Axial plane; Brain; Image size 240x240
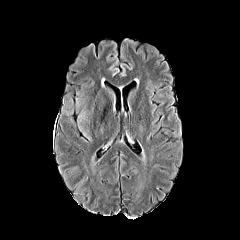
FLAIR MR image.
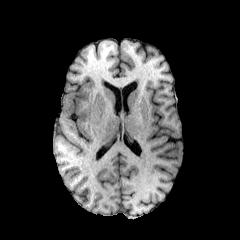
Same slice, T1-weighted MR.
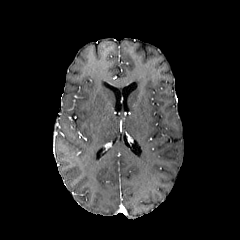
Post-contrast T1-weighted MR image of the same slice.
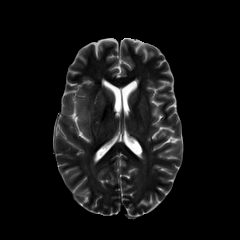
T2-weighted magnetic resonance of the same slice.
* peritumoral edema: <bbox>77, 110, 92, 141</bbox>